FLAIR magnetic resonance.
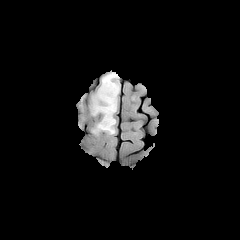
T1-weighted magnetic resonance.
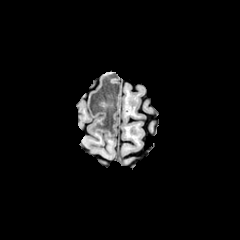
Post-contrast T1-weighted magnetic resonance.
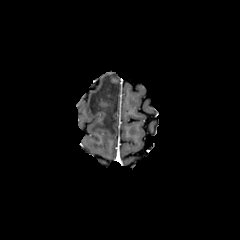
T2-weighted MR image.
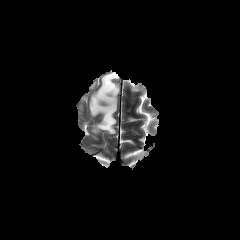
Brain.
The peritumoral edema lies within left=90, top=72, right=119, bottom=134.